Image size 240x240. Axial slice. Brain.
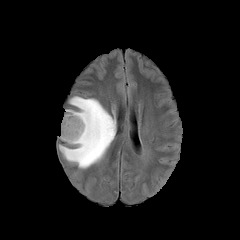
FLAIR MRI.
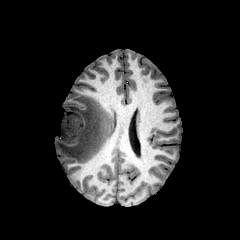
T1-weighted magnetic resonance.
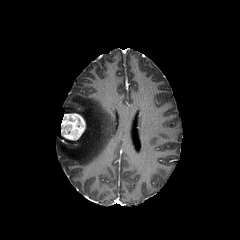
Post-contrast T1-weighted MRI of the same slice.
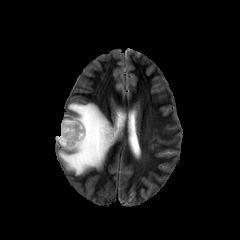
T2-weighted magnetic resonance.
The enhancing tumor is at <box>61,113,85,140</box>. The peritumoral edema is located at <box>58,96,116,170</box>.